Brain; Axial slice
FLAIR magnetic resonance.
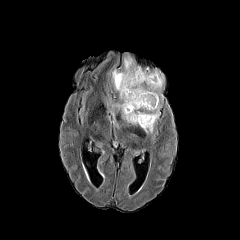
T1-weighted magnetic resonance.
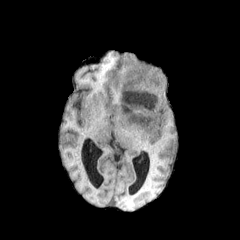
Post-contrast T1-weighted MR.
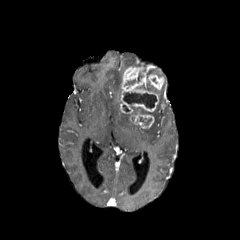
T2-weighted MRI.
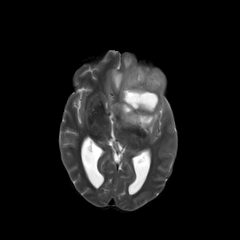
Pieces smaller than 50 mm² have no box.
<segmentation>
  <enhancing_tumor>x1=120, y1=66, x2=164, y2=128</enhancing_tumor>
  <necrotic_tumor_core>x1=123, y1=92, x2=157, y2=108; x1=131, y1=107, x2=147, y2=113; x1=137, y1=81, x2=153, y2=90</necrotic_tumor_core>
  <peritumoral_edema>x1=121, y1=113, x2=133, y2=124; x1=152, y1=88, x2=163, y2=102; x1=144, y1=103, x2=161, y2=134; x1=111, y1=68, x2=123, y2=97; x1=124, y1=56, x2=135, y2=70; x1=108, y1=102, x2=119, y2=121</peritumoral_edema>
</segmentation>